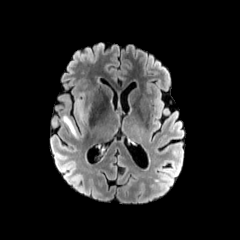
FLAIR MRI.
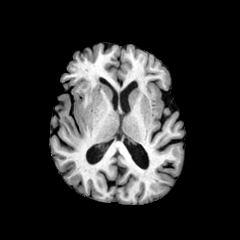
T1-weighted MRI.
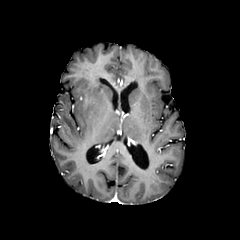
Post-contrast T1-weighted MRI.
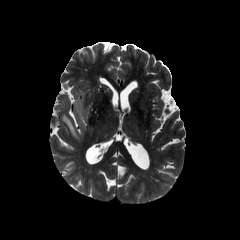
T2-weighted MR image.
Head; Axial plane
2 peritumoral edema regions appear at bbox=[75, 99, 84, 121]; bbox=[62, 114, 79, 139].